Head. Image width 240 mm, 1.00 mm slice spacing. Slice 54/155.
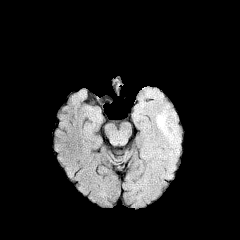
FLAIR MRI.
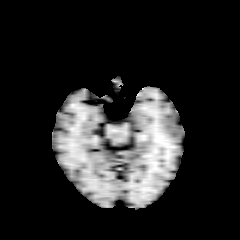
Same slice, T1-weighted MRI.
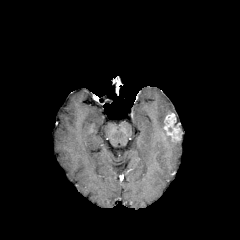
Post-contrast T1-weighted magnetic resonance of the same slice.
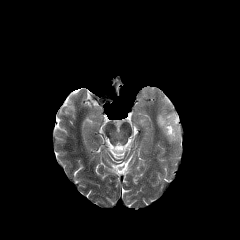
Same slice, T2-weighted MR image.
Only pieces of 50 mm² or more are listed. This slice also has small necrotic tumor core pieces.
The largest peritumoral edema region lies within box=[156, 111, 178, 147]. The enhancing tumor is at box=[163, 113, 181, 141].